FLAIR MR image.
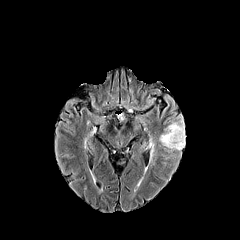
T1-weighted MR image.
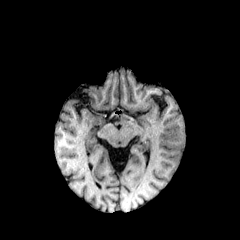
Post-contrast T1-weighted MRI.
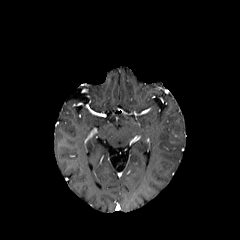
T2-weighted MRI.
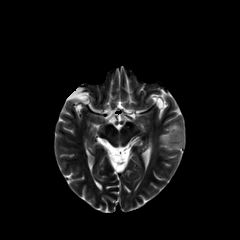
240x240 px
enhancing tumor: {"x1": 169, "y1": 131, "x2": 179, "y2": 142}
peritumoral edema: {"x1": 159, "y1": 117, "x2": 185, "y2": 150}